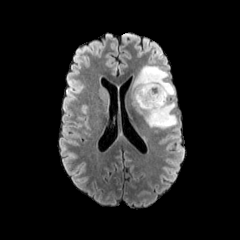
FLAIR magnetic resonance.
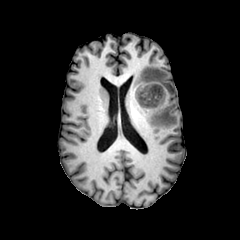
T1-weighted MRI of the same slice.
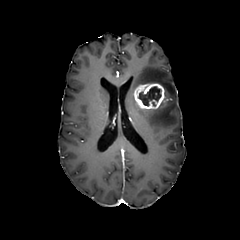
Post-contrast T1-weighted MR image.
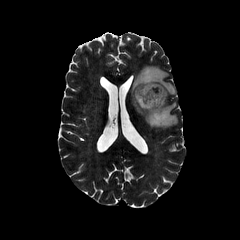
T2-weighted MR.
240x240 px. Axial view. Head.
{"enhancing_tumor": [{"x1": 134, "y1": 83, "x2": 165, "y2": 109}], "peritumoral_edema": [{"x1": 131, "y1": 65, "x2": 176, "y2": 129}], "necrotic_tumor_core": [{"x1": 137, "y1": 85, "x2": 161, "y2": 105}]}